Axial view | Head
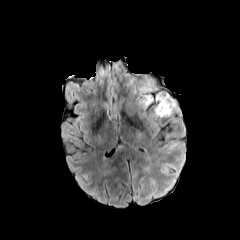
FLAIR magnetic resonance.
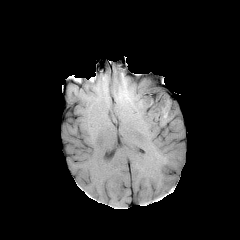
T1-weighted MRI of the same slice.
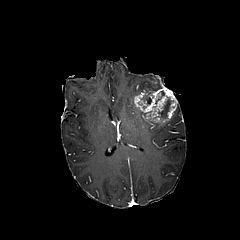
Post-contrast T1-weighted MR.
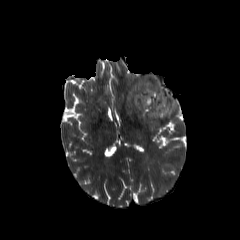
Same slice, T2-weighted MR.
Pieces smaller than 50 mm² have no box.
Findings:
- necrotic tumor core: bbox=[157, 97, 173, 120]; bbox=[141, 92, 152, 104]
- enhancing tumor: bbox=[134, 88, 177, 123]
- peritumoral edema: bbox=[139, 80, 151, 93]